Head, Image width 240 mm, 1.00 mm slice spacing, Slice 90/155
FLAIR magnetic resonance.
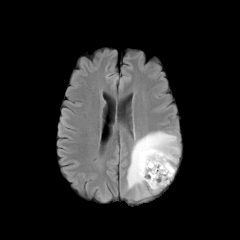
T1-weighted MR image.
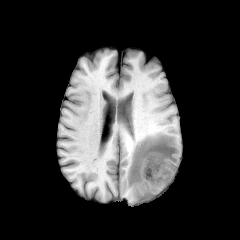
Post-contrast T1-weighted MRI.
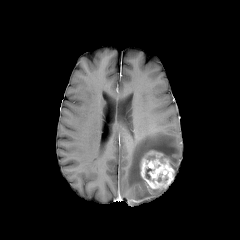
T2-weighted MR image.
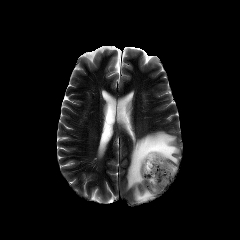
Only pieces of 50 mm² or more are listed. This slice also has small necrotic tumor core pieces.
• enhancing tumor: [x1=140, y1=150, x2=174, y2=189]
• peritumoral edema: [x1=127, y1=131, x2=179, y2=200]